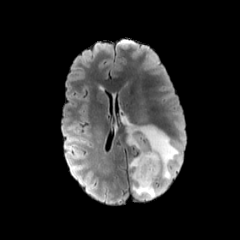
FLAIR magnetic resonance.
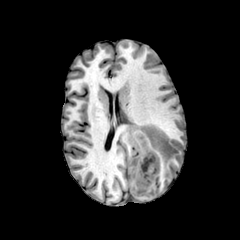
T1-weighted magnetic resonance of the same slice.
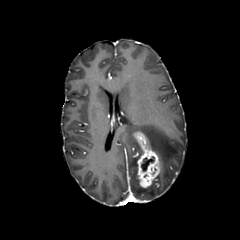
Post-contrast T1-weighted MR of the same slice.
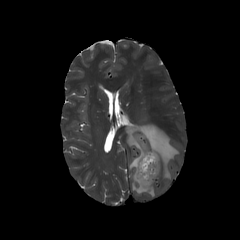
T2-weighted MRI of the same slice.
Brain | Axial view
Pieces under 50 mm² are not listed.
peritumoral edema = 129:156:163:198, 126:124:179:179
necrotic tumor core = 141:156:154:171
enhancing tumor = 134:132:160:187